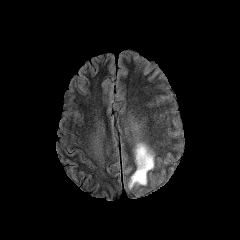
FLAIR MRI.
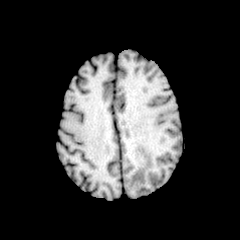
T1-weighted MR.
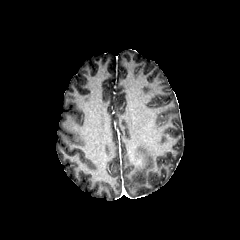
Post-contrast T1-weighted MRI.
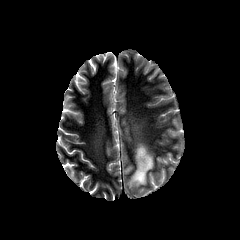
T2-weighted MRI.
Brain. Axial slice.
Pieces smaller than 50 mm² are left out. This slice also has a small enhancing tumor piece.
peritumoral_edema:
  - 129, 143, 154, 188